Axial slice. Head.
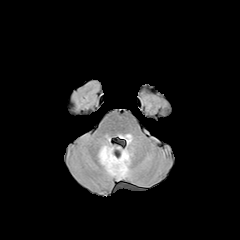
FLAIR MR image.
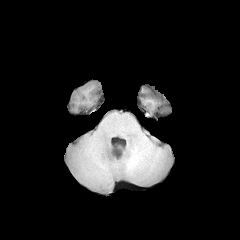
Same slice, T1-weighted MR.
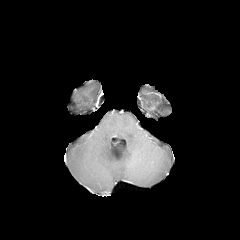
Post-contrast T1-weighted MRI of the same slice.
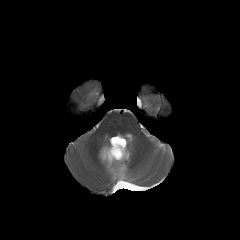
Same slice, T2-weighted MR image.
{"peritumoral_edema": ["left=98, top=138, right=131, bottom=179", "left=119, top=134, right=132, bottom=143"]}